Slice 98/155. Brain. Image width 240 mm. Image size 240x240.
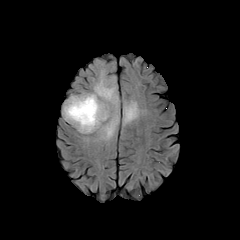
FLAIR MR image.
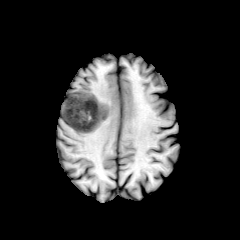
T1-weighted magnetic resonance.
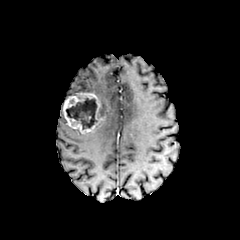
Same slice, post-contrast T1-weighted MRI.
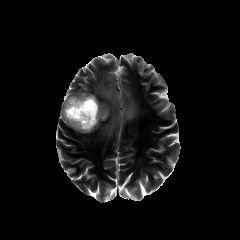
Same slice, T2-weighted magnetic resonance.
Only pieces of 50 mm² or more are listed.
Segmented structures:
- enhancing tumor: x1=63 y1=92 x2=105 y2=133
- peritumoral edema: x1=81 y1=73 x2=119 y2=140, x1=123 y1=100 x2=138 y2=125
- necrotic tumor core: x1=66 y1=98 x2=97 y2=129